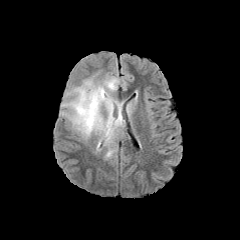
FLAIR MRI.
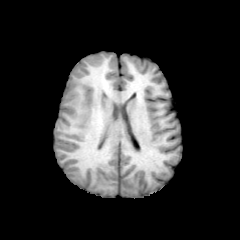
T1-weighted magnetic resonance of the same slice.
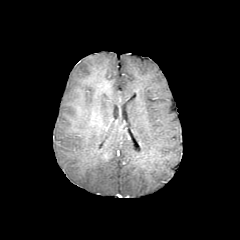
Post-contrast T1-weighted MR.
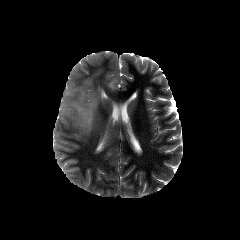
T2-weighted MR of the same slice.
Axial view | Brain
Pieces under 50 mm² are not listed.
Annotated regions:
* peritumoral edema: [x1=62, y1=78, x2=123, y2=148], [x1=128, y1=101, x2=136, y2=114]